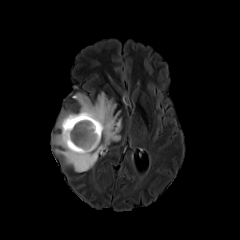
FLAIR magnetic resonance.
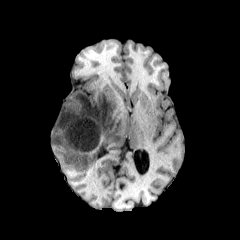
T1-weighted MRI.
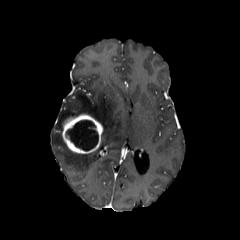
Same slice, post-contrast T1-weighted MR.
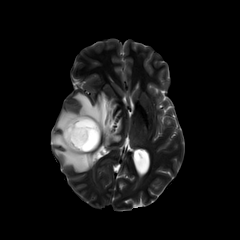
T2-weighted magnetic resonance.
Brain.
The peritumoral edema appears at (52,92,121,172). The necrotic tumor core appears at (66,120,98,150). The enhancing tumor lies within (62,114,103,153).